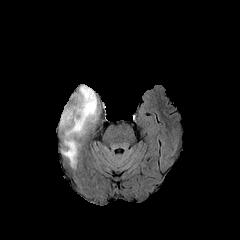
FLAIR MRI.
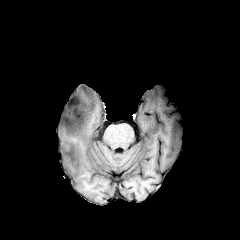
Same slice, T1-weighted MR.
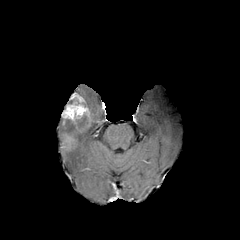
Post-contrast T1-weighted magnetic resonance.
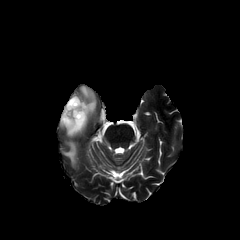
T2-weighted MR of the same slice.
Brain, Axial view
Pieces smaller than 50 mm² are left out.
Segmented structures:
• enhancing tumor: x1=61 y1=93 x2=91 y2=135
• necrotic tumor core: x1=66 y1=120 x2=75 y2=133, x1=78 y1=116 x2=86 y2=127
• peritumoral edema: x1=61 y1=130 x2=86 y2=168, x1=76 y1=84 x2=98 y2=123